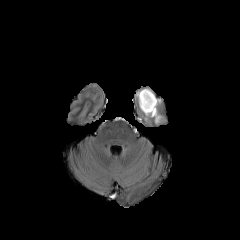
FLAIR MRI.
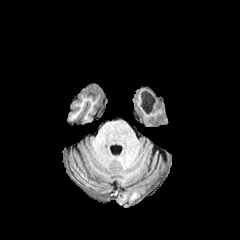
Same slice, T1-weighted MR.
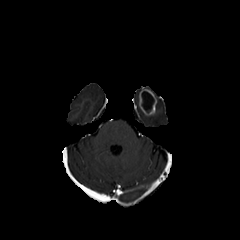
Post-contrast T1-weighted magnetic resonance of the same slice.
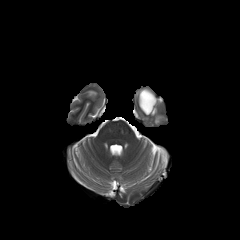
Same slice, T2-weighted magnetic resonance.
Brain
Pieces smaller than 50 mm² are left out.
The enhancing tumor is bounded by (139,87,157,115). The necrotic tumor core is located at (141,91,154,112). The largest peritumoral edema region is located at (139,98,165,124).